FLAIR magnetic resonance.
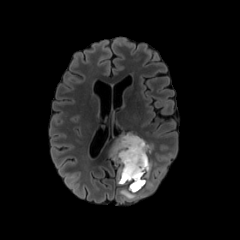
T1-weighted magnetic resonance.
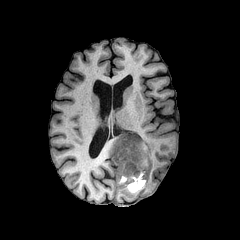
Post-contrast T1-weighted MR.
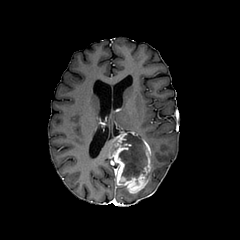
T2-weighted MR.
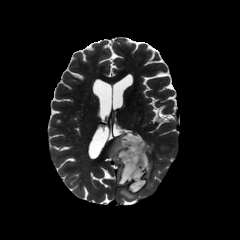
Image size 240x240. Head.
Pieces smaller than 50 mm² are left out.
The largest enhancing tumor region is bounded by region(109, 132, 151, 193). The largest necrotic tumor core region is at region(119, 133, 146, 180). The 2 largest peritumoral edema regions are located at region(120, 188, 136, 199); region(145, 178, 155, 190).